FLAIR MRI.
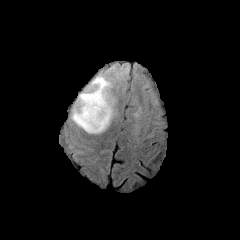
T1-weighted MR.
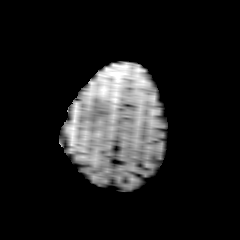
Post-contrast T1-weighted MR.
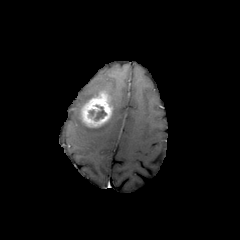
T2-weighted MR.
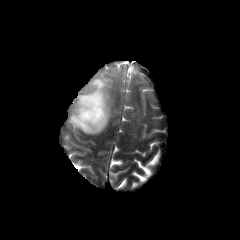
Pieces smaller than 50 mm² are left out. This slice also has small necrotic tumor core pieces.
The enhancing tumor lies within x1=80 y1=90 x2=112 y2=127. The peritumoral edema is located at x1=70 y1=76 x2=115 y2=133.